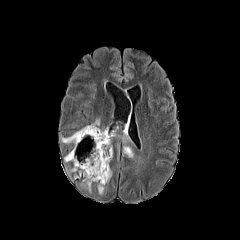
FLAIR MR.
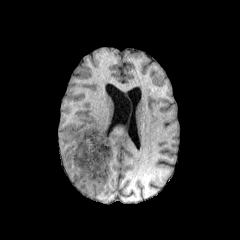
T1-weighted MR image of the same slice.
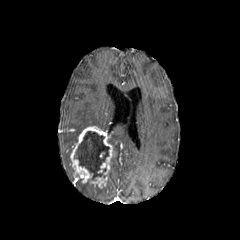
Same slice, post-contrast T1-weighted MR.
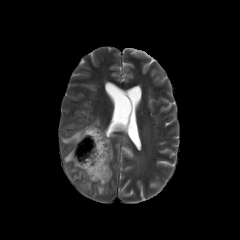
T2-weighted MRI of the same slice.
240x240 px
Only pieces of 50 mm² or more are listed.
enhancing tumor: bounding box 70,126,113,187
necrotic tumor core: bounding box 74,131,109,179
peritumoral edema: bounding box 123,128,128,142; 123,145,133,158; 81,182,91,192; 61,130,81,143